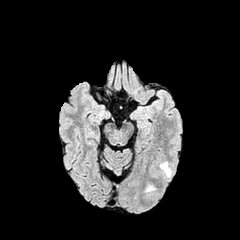
FLAIR magnetic resonance.
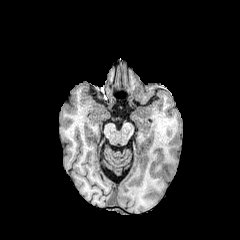
Same slice, T1-weighted MR image.
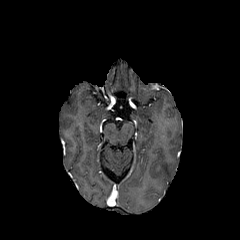
Post-contrast T1-weighted magnetic resonance.
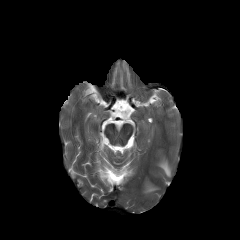
Same slice, T2-weighted MR.
Axial slice.
peritumoral_edema:
  - rect(160, 161, 171, 177)
  - rect(145, 185, 154, 192)